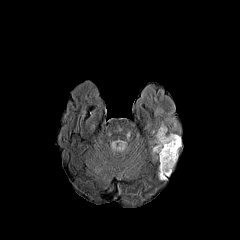
FLAIR MR image.
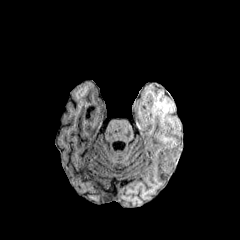
T1-weighted MR image.
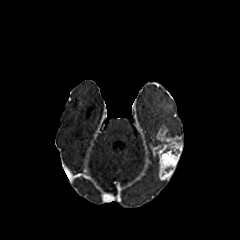
Same slice, post-contrast T1-weighted magnetic resonance.
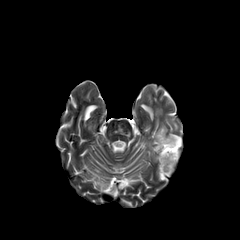
T2-weighted magnetic resonance.
240x240
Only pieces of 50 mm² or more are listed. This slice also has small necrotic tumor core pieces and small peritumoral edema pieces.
<segmentation>
  <enhancing_tumor>l=151, t=125, r=182, b=180</enhancing_tumor>
</segmentation>